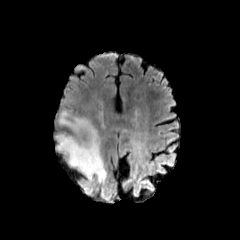
FLAIR magnetic resonance.
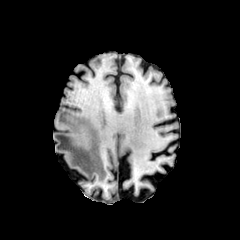
T1-weighted MRI.
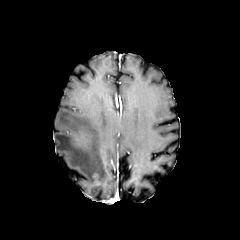
Post-contrast T1-weighted MR image of the same slice.
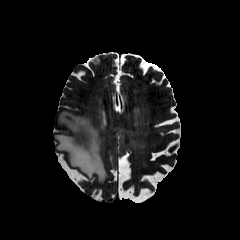
T2-weighted MRI.
Axial view, Head
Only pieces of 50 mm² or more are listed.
peritumoral edema: rect(54, 110, 107, 199)